Brain.
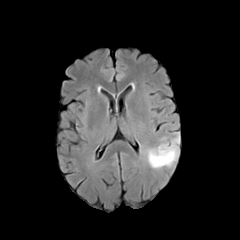
FLAIR MR.
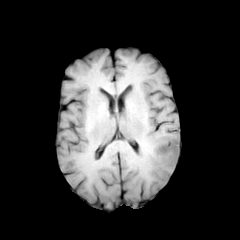
T1-weighted magnetic resonance.
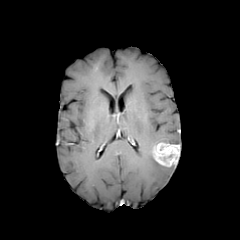
Post-contrast T1-weighted MRI of the same slice.
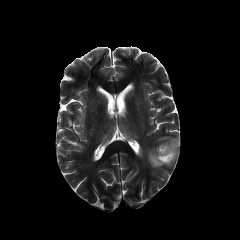
T2-weighted MR of the same slice.
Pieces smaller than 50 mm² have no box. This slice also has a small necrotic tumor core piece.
enhancing tumor: 153:142:179:166
peritumoral edema: 146:148:165:168, 160:133:179:144